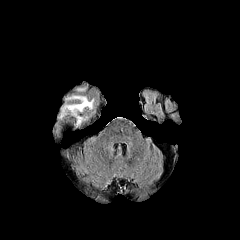
FLAIR MRI.
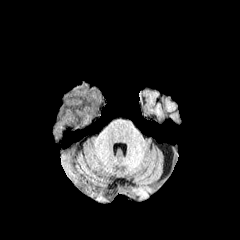
T1-weighted magnetic resonance.
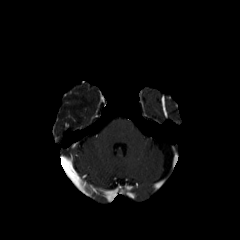
Post-contrast T1-weighted MR.
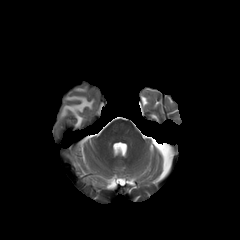
T2-weighted MRI.
Axial view. 240x240.
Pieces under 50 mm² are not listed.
<segmentation>
  <peritumoral_edema>l=60, t=96, r=93, b=125</peritumoral_edema>
</segmentation>